Brain. Axial view. Slice 98/155.
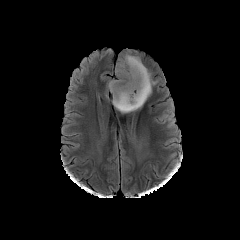
FLAIR MR image.
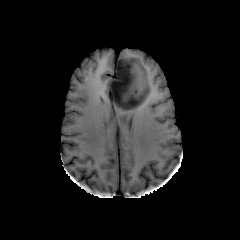
T1-weighted MRI of the same slice.
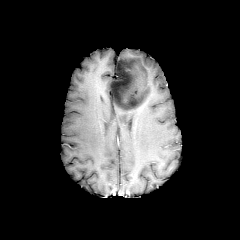
Post-contrast T1-weighted magnetic resonance.
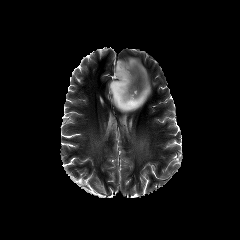
T2-weighted MR.
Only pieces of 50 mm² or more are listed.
The largest peritumoral edema region appears at bbox(112, 55, 155, 113). The necrotic tumor core lies within bbox(110, 60, 148, 109).